FLAIR MRI.
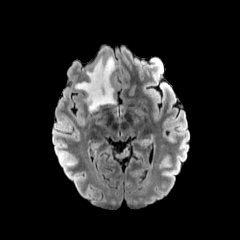
T1-weighted magnetic resonance.
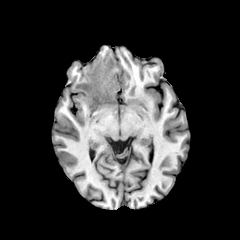
Post-contrast T1-weighted MRI.
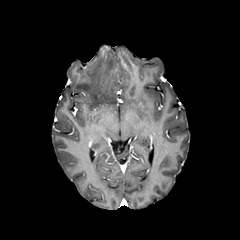
T2-weighted MRI.
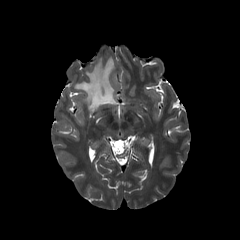
Brain, 240x240 px
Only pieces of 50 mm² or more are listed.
<segmentation>
  <peritumoral_edema>(75, 56, 115, 111)</peritumoral_edema>
</segmentation>